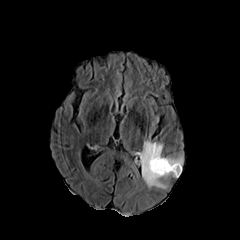
FLAIR MR.
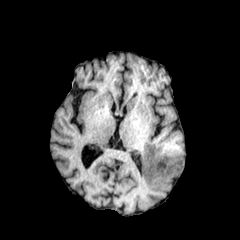
T1-weighted magnetic resonance.
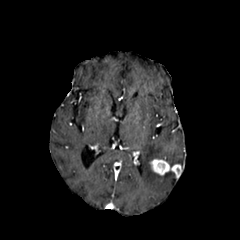
Post-contrast T1-weighted MR image.
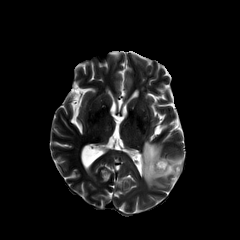
T2-weighted MRI of the same slice.
Brain
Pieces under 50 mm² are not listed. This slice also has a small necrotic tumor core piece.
enhancing tumor = l=150, t=158, r=181, b=176
peritumoral edema = l=140, t=140, r=175, b=188; l=167, t=156, r=183, b=165